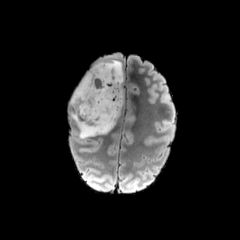
FLAIR MR image.
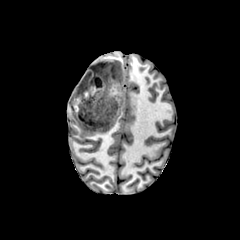
Same slice, T1-weighted MR.
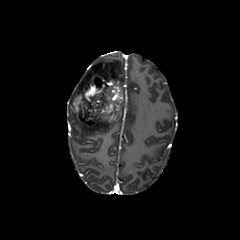
Post-contrast T1-weighted MR image.
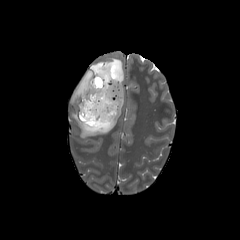
T2-weighted MRI.
Brain
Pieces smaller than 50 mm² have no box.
peritumoral edema: x1=71 y1=59 x2=123 y2=104, x1=71 y1=112 x2=120 y2=138
enhancing tumor: x1=73 y1=67 x2=123 y2=127
necrotic tumor core: x1=79 y1=111 x2=89 y2=121, x1=84 y1=73 x2=103 y2=89